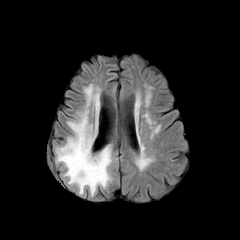
FLAIR MR.
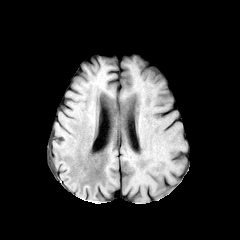
T1-weighted magnetic resonance.
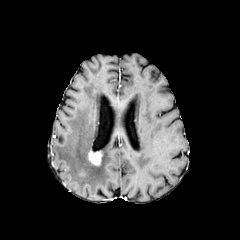
Post-contrast T1-weighted MR.
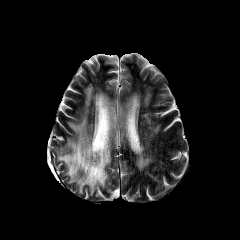
T2-weighted MR.
Axial slice
<segmentation>
  <enhancing_tumor>{"x1": 88, "y1": 150, "x2": 102, "y2": 165}</enhancing_tumor>
  <peritumoral_edema>{"x1": 56, "y1": 84, "x2": 112, "y2": 194}</peritumoral_edema>
</segmentation>